Slice 103/155
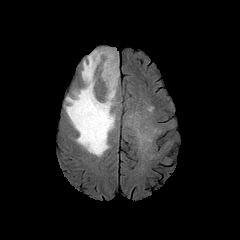
FLAIR MR.
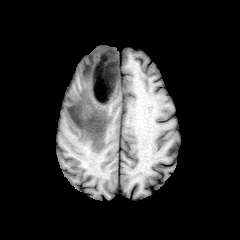
T1-weighted MRI.
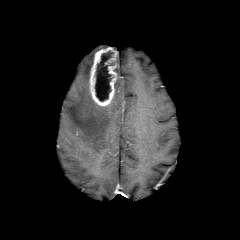
Post-contrast T1-weighted magnetic resonance.
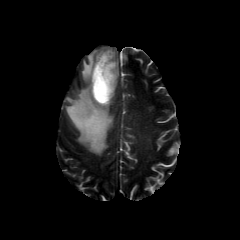
T2-weighted MRI of the same slice.
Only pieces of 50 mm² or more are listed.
{
  "peritumoral_edema": [
    "65 49 118 156"
  ],
  "enhancing_tumor": [
    "89 47 118 106"
  ],
  "necrotic_tumor_core": [
    "95 51 113 101"
  ]
}